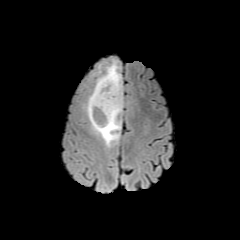
FLAIR MR.
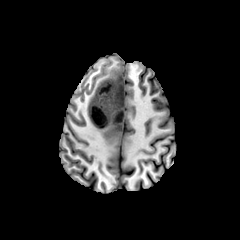
T1-weighted MRI.
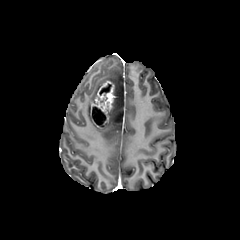
Post-contrast T1-weighted MRI of the same slice.
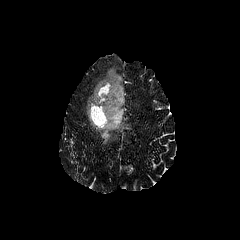
T2-weighted MR of the same slice.
Axial plane, Head
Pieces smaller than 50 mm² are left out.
<segmentation>
  <peritumoral_edema><bbox>86, 61, 123, 146</bbox></peritumoral_edema>
  <necrotic_tumor_core><bbox>92, 106, 106, 126</bbox>, <bbox>99, 84, 111, 95</bbox></necrotic_tumor_core>
  <enhancing_tumor><bbox>90, 81, 115, 127</bbox></enhancing_tumor>
</segmentation>